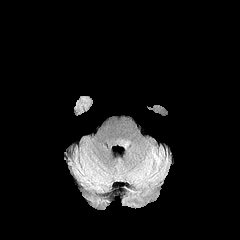
FLAIR MR.
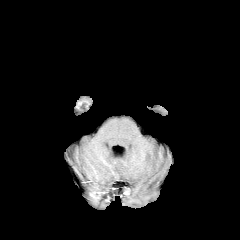
T1-weighted MRI.
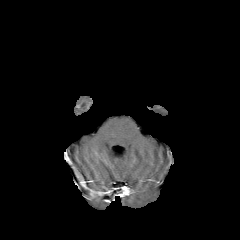
Same slice, post-contrast T1-weighted MRI.
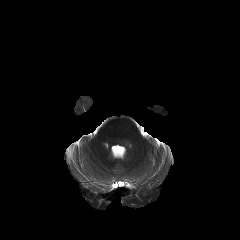
T2-weighted MR image of the same slice.
Brain, Axial slice
peritumoral edema: l=117, t=138, r=129, b=146